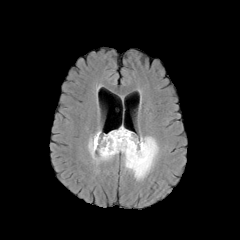
FLAIR MR image.
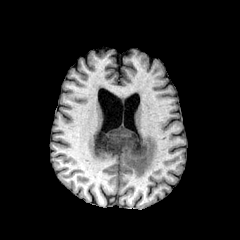
Same slice, T1-weighted MRI.
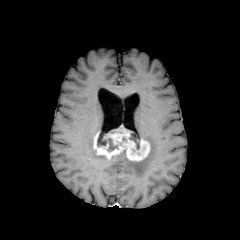
Post-contrast T1-weighted magnetic resonance.
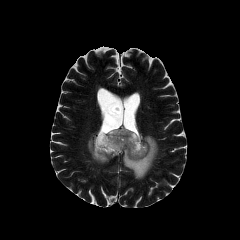
T2-weighted MR of the same slice.
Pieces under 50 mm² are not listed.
necrotic tumor core = l=108, t=138, r=118, b=151; l=97, t=134, r=107, b=146; l=129, t=133, r=140, b=149
peritumoral edema = l=88, t=136, r=109, b=162; l=122, t=136, r=158, b=179
enhancing tumor = l=93, t=126, r=150, b=161